240x240 px, Axial view
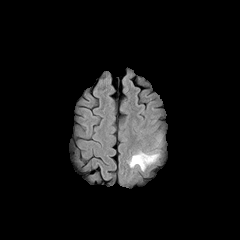
FLAIR magnetic resonance.
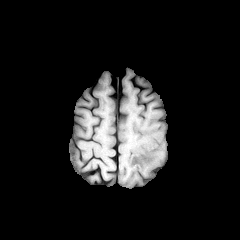
Same slice, T1-weighted MR.
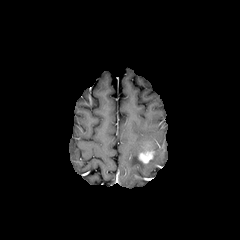
Same slice, post-contrast T1-weighted magnetic resonance.
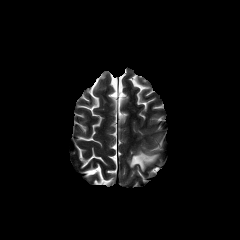
T2-weighted MRI of the same slice.
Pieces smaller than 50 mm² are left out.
enhancing_tumor:
  - left=138, top=150, right=153, bottom=163
peritumoral_edema:
  - left=128, top=150, right=159, bottom=171